Image width 240 mm, 1.00 mm slice spacing | Image size 240x240
FLAIR MRI.
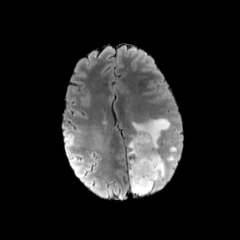
T1-weighted magnetic resonance.
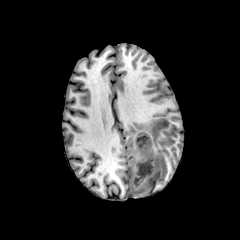
Post-contrast T1-weighted MRI.
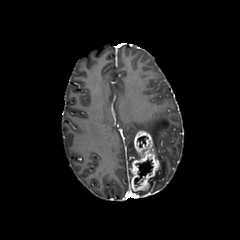
T2-weighted MRI.
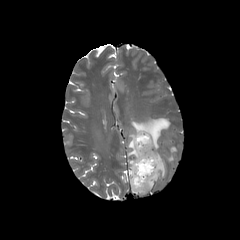
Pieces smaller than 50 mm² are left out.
2 necrotic tumor core regions are located at <bbox>137, 136, 147, 147</bbox>, <bbox>134, 159, 152, 187</bbox>. The enhancing tumor lies within <bbox>130, 131, 160, 191</bbox>. The 3 largest peritumoral edema regions are bounded by <bbox>128, 135, 138, 158</bbox>, <bbox>132, 118, 170, 149</bbox>, <bbox>132, 151, 165, 194</bbox>.